Slice 53/155
FLAIR MR.
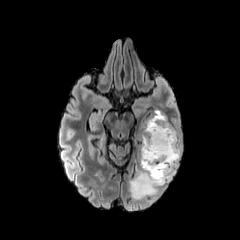
T1-weighted MR.
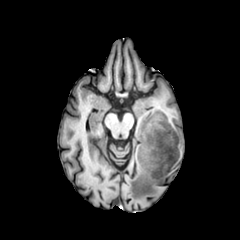
Post-contrast T1-weighted magnetic resonance.
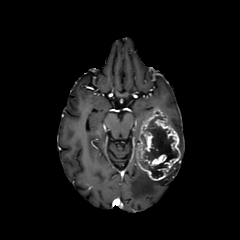
T2-weighted MRI.
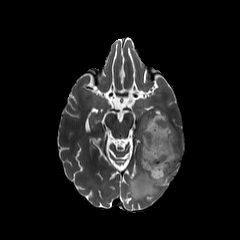
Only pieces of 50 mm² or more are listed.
Segmented structures:
• peritumoral edema: [129, 160, 179, 198], [174, 128, 182, 155]
• necrotic tumor core: [140, 116, 178, 178]
• enhancing tumor: [135, 108, 180, 180]